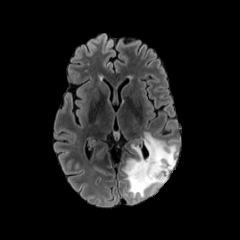
FLAIR MRI.
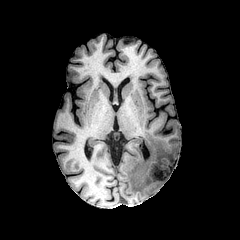
T1-weighted magnetic resonance.
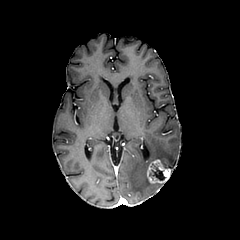
Post-contrast T1-weighted magnetic resonance.
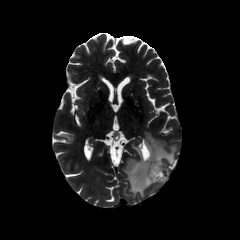
T2-weighted MRI.
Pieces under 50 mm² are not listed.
The peritumoral edema appears at <box>123,131,177,197</box>. The enhancing tumor is located at <box>146,159,172,183</box>. The largest necrotic tumor core region is at <box>149,167,165,180</box>.